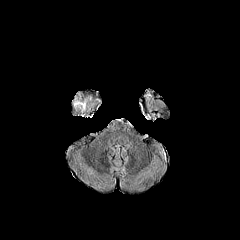
FLAIR magnetic resonance.
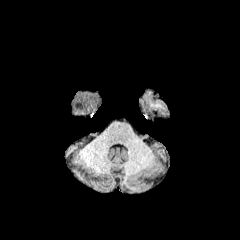
T1-weighted magnetic resonance of the same slice.
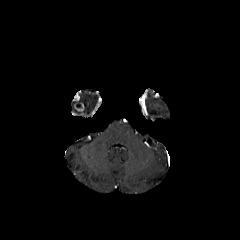
Post-contrast T1-weighted MRI of the same slice.
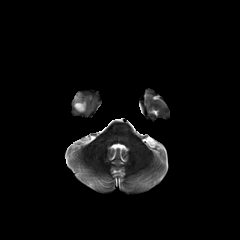
Same slice, T2-weighted magnetic resonance.
Brain.
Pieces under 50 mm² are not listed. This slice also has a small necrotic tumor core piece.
enhancing tumor = x1=74, y1=102, x2=84, y2=111